FLAIR MR image.
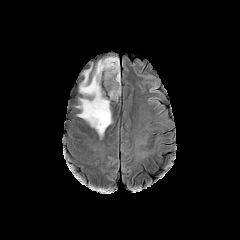
T1-weighted magnetic resonance.
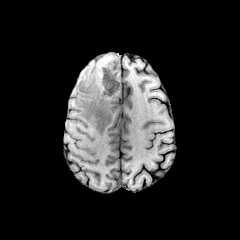
Post-contrast T1-weighted MR image.
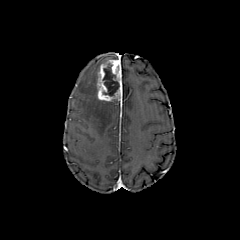
T2-weighted MR.
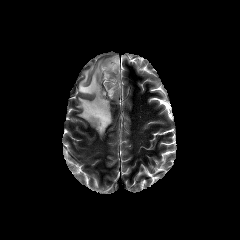
Axial view | Head
<segmentation>
  <necrotic_tumor_core>x1=103 y1=64 x2=119 y2=96</necrotic_tumor_core>
  <peritumoral_edema>x1=76 y1=56 x2=117 y2=138</peritumoral_edema>
  <enhancing_tumor>x1=97 y1=59 x2=122 y2=101</enhancing_tumor>
</segmentation>